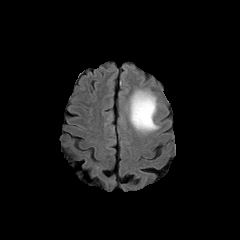
FLAIR MR image.
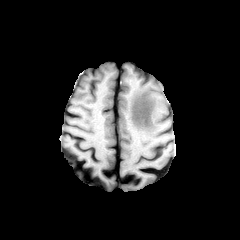
Same slice, T1-weighted MRI.
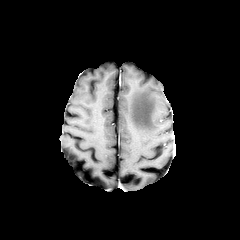
Post-contrast T1-weighted magnetic resonance of the same slice.
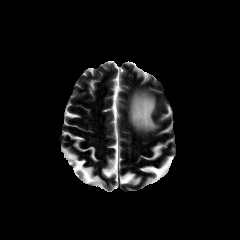
Same slice, T2-weighted MRI.
240x240 px
peritumoral edema: bounding box left=128, top=90, right=158, bottom=132